FLAIR MRI.
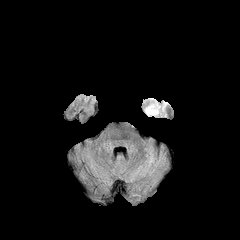
T1-weighted MR.
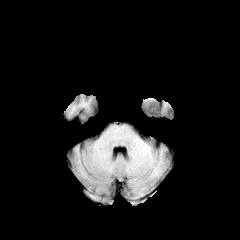
Post-contrast T1-weighted magnetic resonance.
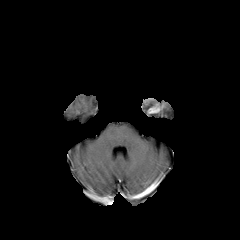
T2-weighted magnetic resonance.
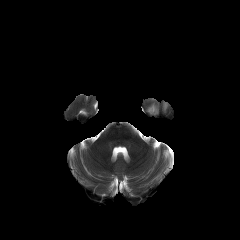
Axial plane, 240x240
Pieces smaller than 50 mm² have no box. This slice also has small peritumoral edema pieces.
The enhancing tumor is bounded by bbox(147, 103, 164, 114).